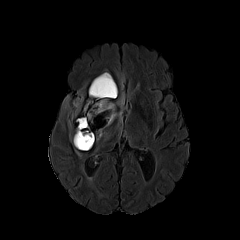
FLAIR MR image.
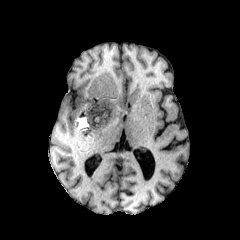
Same slice, T1-weighted magnetic resonance.
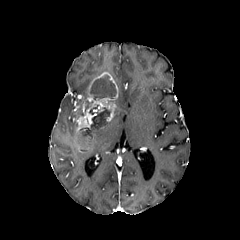
Post-contrast T1-weighted MRI of the same slice.
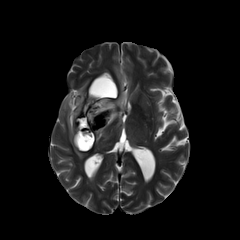
T2-weighted magnetic resonance of the same slice.
Brain.
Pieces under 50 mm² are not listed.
<segmentation>
  <enhancing_tumor>{"x1": 73, "y1": 72, "x2": 118, "y2": 148}, {"x1": 78, "y1": 125, "x2": 104, "y2": 150}</enhancing_tumor>
  <peritumoral_edema>{"x1": 96, "y1": 93, "x2": 125, "y2": 141}, {"x1": 63, "y1": 96, "x2": 69, "y2": 109}</peritumoral_edema>
  <necrotic_tumor_core>{"x1": 90, "y1": 75, "x2": 116, "y2": 101}, {"x1": 76, "y1": 108, "x2": 110, "y2": 149}</necrotic_tumor_core>
</segmentation>